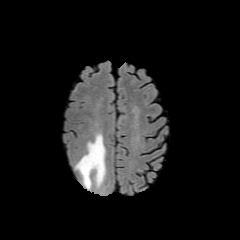
FLAIR MR image.
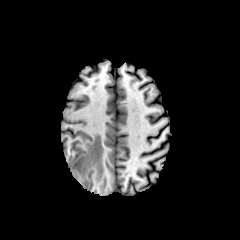
Same slice, T1-weighted MR.
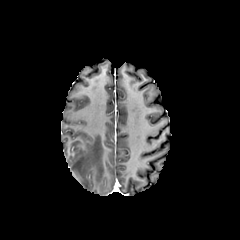
Post-contrast T1-weighted MR image.
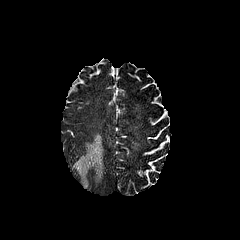
T2-weighted MR image.
240x240
peritumoral edema: 75,133,105,188